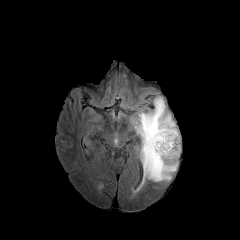
FLAIR MR image.
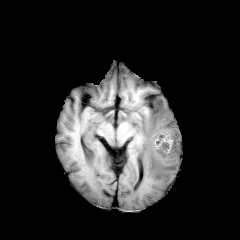
Same slice, T1-weighted MRI.
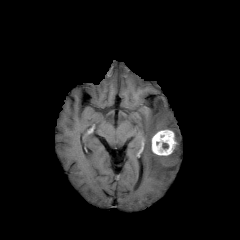
Post-contrast T1-weighted MR image.
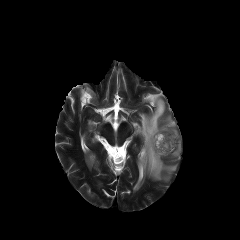
T2-weighted MRI.
Head; 240x240 px
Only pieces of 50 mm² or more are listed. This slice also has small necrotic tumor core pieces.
enhancing tumor at 151, 129, 177, 155
peritumoral edema at 133, 96, 180, 181